Slice 107/155. Head. Axial plane.
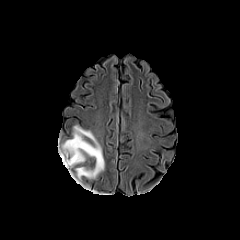
FLAIR MR image.
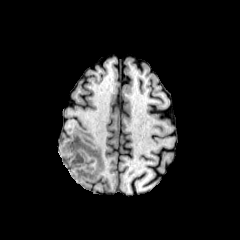
T1-weighted MRI.
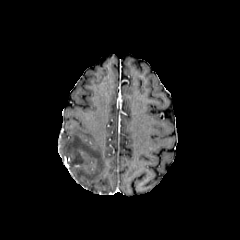
Post-contrast T1-weighted MRI.
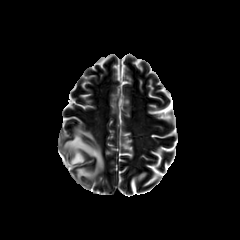
T2-weighted magnetic resonance.
peritumoral edema: left=60, top=126, right=104, bottom=182